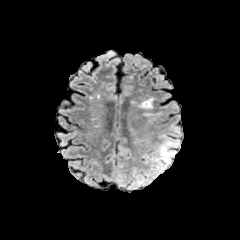
FLAIR MR.
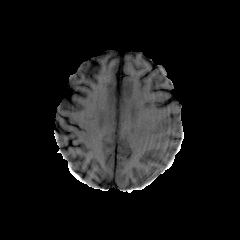
T1-weighted magnetic resonance.
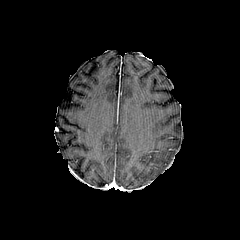
Post-contrast T1-weighted MRI.
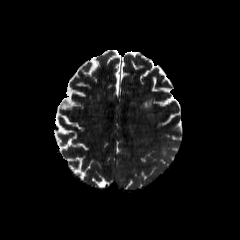
T2-weighted MR of the same slice.
Brain; 240x240 px
Annotated regions:
• peritumoral edema: 160, 141, 174, 163